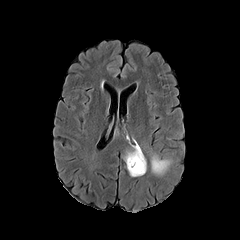
FLAIR MR.
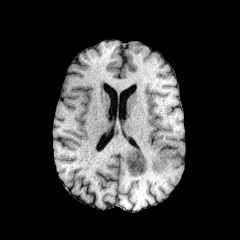
T1-weighted magnetic resonance of the same slice.
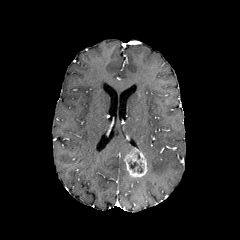
Same slice, post-contrast T1-weighted magnetic resonance.
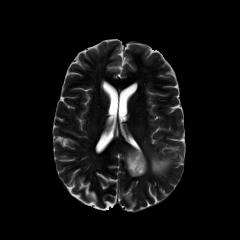
T2-weighted magnetic resonance.
240x240 px
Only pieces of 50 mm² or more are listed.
The largest peritumoral edema region is located at (x1=151, y1=154, x2=171, y2=175). The enhancing tumor appears at (x1=124, y1=147, x2=147, y2=177). The largest necrotic tumor core region appears at (x1=129, y1=161, x2=138, y2=171).